FLAIR magnetic resonance.
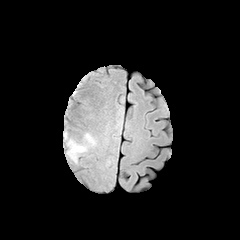
T1-weighted magnetic resonance.
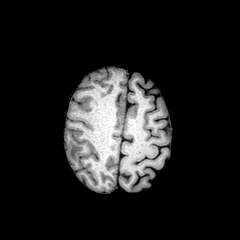
Post-contrast T1-weighted MRI.
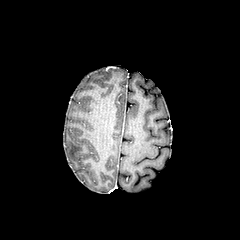
T2-weighted magnetic resonance.
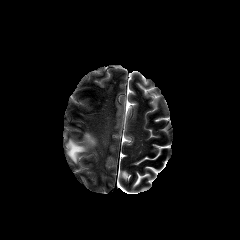
2 peritumoral edema regions are located at <bbox>85, 134, 94, 143</bbox>, <bbox>68, 140, 85, 161</bbox>.